FLAIR MR image.
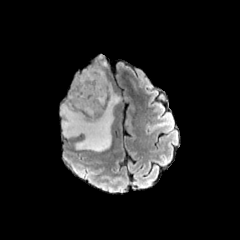
T1-weighted MRI.
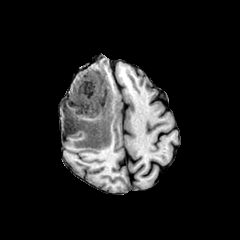
Post-contrast T1-weighted MR image.
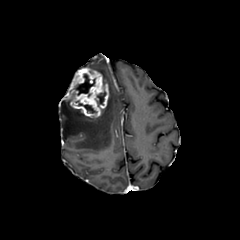
T2-weighted MRI.
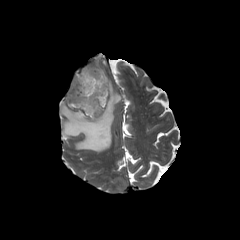
Brain
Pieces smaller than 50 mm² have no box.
necrotic tumor core: bounding box 78:103:96:113, 74:74:95:95, 97:92:106:104
peritumoral edema: bounding box 90:68:107:82, 61:84:120:151
enhancing tumor: bounding box 65:68:108:117